FLAIR magnetic resonance.
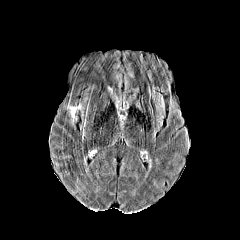
T1-weighted MR.
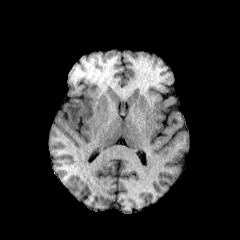
Post-contrast T1-weighted MR.
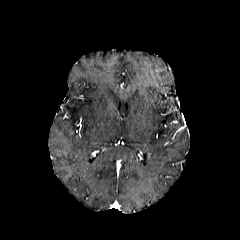
T2-weighted magnetic resonance.
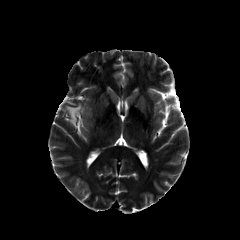
240x240; Axial view
peritumoral edema: bounding box box=[68, 105, 81, 122]